Head.
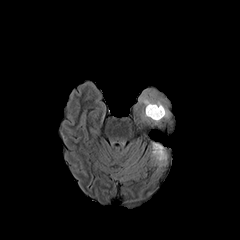
FLAIR MRI.
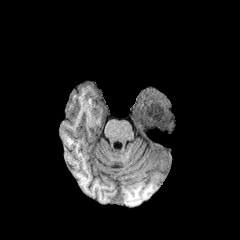
T1-weighted magnetic resonance of the same slice.
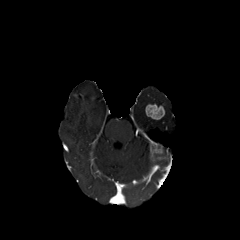
Same slice, post-contrast T1-weighted magnetic resonance.
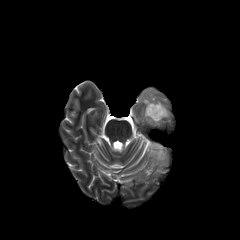
T2-weighted magnetic resonance.
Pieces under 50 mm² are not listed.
The largest peritumoral edema region is bounded by bbox(139, 89, 169, 123). The 2 largest enhancing tumor regions appear at bbox(155, 148, 164, 159); bbox(145, 104, 164, 119).